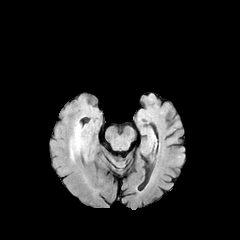
FLAIR MRI.
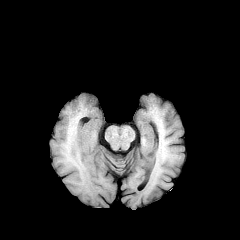
T1-weighted MR image of the same slice.
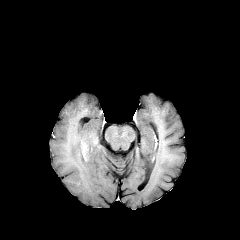
Same slice, post-contrast T1-weighted MRI.
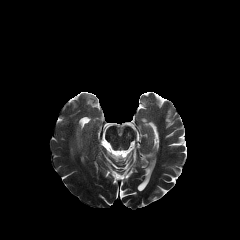
T2-weighted MR.
240x240 | Brain
peritumoral edema: rect(71, 124, 90, 156)